FLAIR MRI.
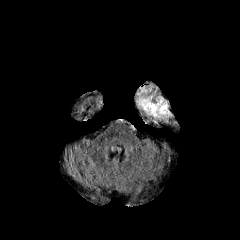
T1-weighted MRI.
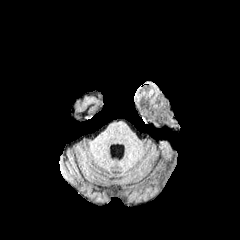
Post-contrast T1-weighted MR image.
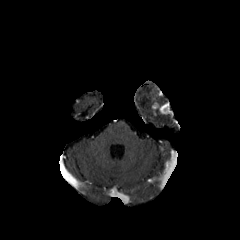
T2-weighted magnetic resonance.
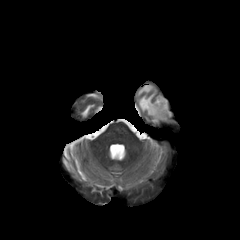
240x240; Brain; Axial slice
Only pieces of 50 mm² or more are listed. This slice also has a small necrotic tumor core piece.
peritumoral edema: (137,86,171,122), (156,96,168,105) | enhancing tumor: (152,103,171,115)